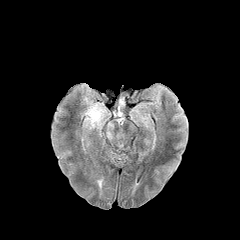
FLAIR MR image.
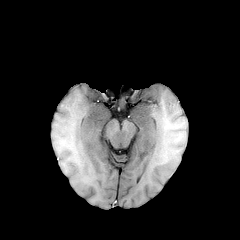
T1-weighted MR of the same slice.
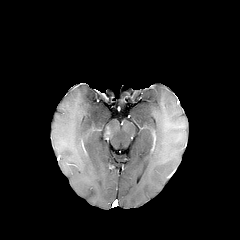
Post-contrast T1-weighted MR of the same slice.
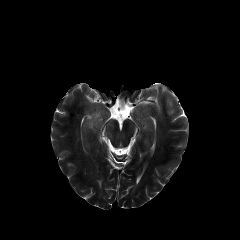
T2-weighted MRI.
Head
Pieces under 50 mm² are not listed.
The largest peritumoral edema region is at 86:105:105:129.